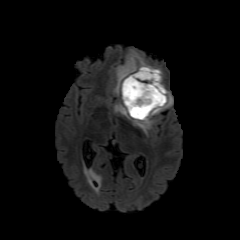
FLAIR MRI.
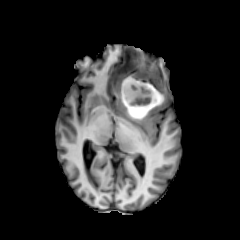
T1-weighted magnetic resonance of the same slice.
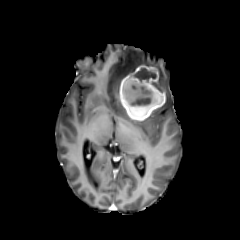
Same slice, post-contrast T1-weighted magnetic resonance.
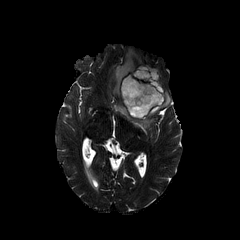
T2-weighted MR.
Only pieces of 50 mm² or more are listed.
Segmented structures:
* enhancing tumor: x1=119, y1=65, x2=165, y2=120
* necrotic tumor core: x1=123, y1=68, x2=157, y2=115; x1=151, y1=82, x2=162, y2=92
* peritumoral edema: x1=113, y1=50, x2=147, y2=95; x1=114, y1=88, x2=172, y2=134